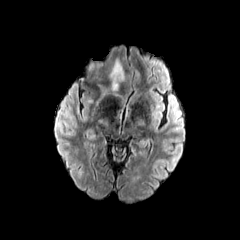
FLAIR magnetic resonance.
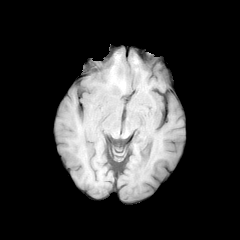
T1-weighted magnetic resonance.
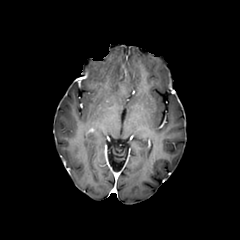
Post-contrast T1-weighted magnetic resonance of the same slice.
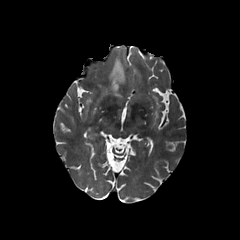
T2-weighted magnetic resonance.
Axial plane
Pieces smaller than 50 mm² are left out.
peritumoral_edema:
  - (left=96, top=59, right=124, bottom=105)